FLAIR MRI.
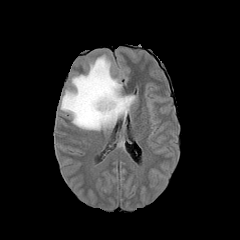
T1-weighted magnetic resonance.
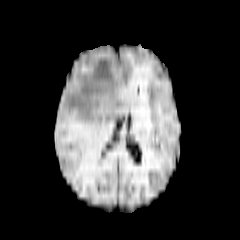
Post-contrast T1-weighted MR image.
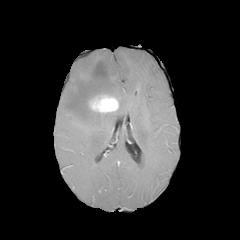
T2-weighted MR.
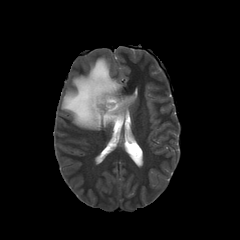
Axial view
{"peritumoral_edema": ["region(61, 55, 136, 137)"], "enhancing_tumor": ["region(88, 94, 119, 113)"]}